FLAIR MR.
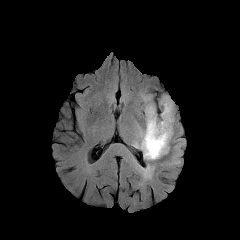
T1-weighted MRI.
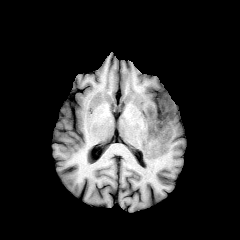
Post-contrast T1-weighted MR image.
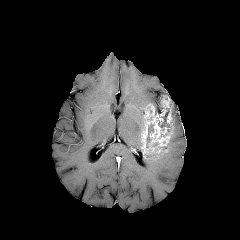
T2-weighted MR.
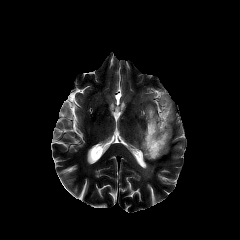
Image size 240x240 | Brain | Axial slice
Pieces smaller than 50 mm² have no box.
enhancing tumor: bbox=[141, 95, 173, 155]
necrotic tumor core: bbox=[146, 125, 153, 147]; bbox=[161, 110, 169, 127]
peritumoral edema: bbox=[141, 153, 166, 177]; bbox=[132, 118, 144, 152]; bbox=[141, 94, 154, 114]; bbox=[171, 102, 174, 139]